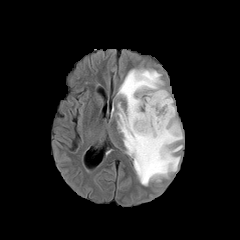
FLAIR MR.
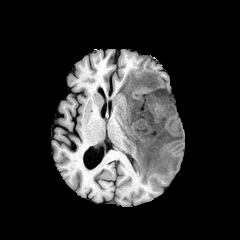
T1-weighted MR.
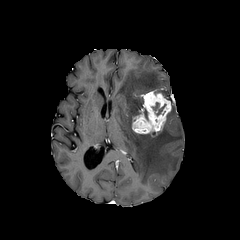
Post-contrast T1-weighted magnetic resonance.
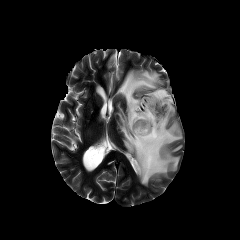
Same slice, T2-weighted MR.
Brain
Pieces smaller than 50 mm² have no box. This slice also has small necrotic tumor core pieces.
{
  "enhancing_tumor": [
    "left=132, top=90, right=170, bottom=136"
  ],
  "peritumoral_edema": [
    "left=117, top=69, right=182, bottom=185"
  ]
}